FLAIR MR image.
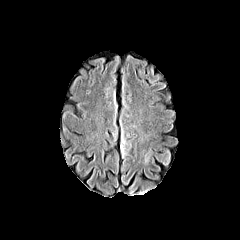
T1-weighted MR.
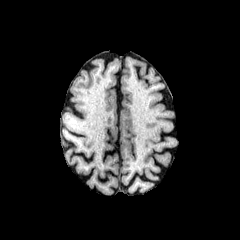
Post-contrast T1-weighted magnetic resonance.
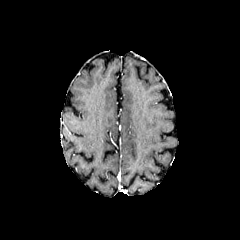
T2-weighted MR.
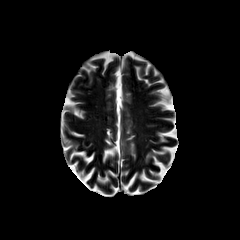
Head
peritumoral_edema:
  - <bbox>120, 143, 127, 158</bbox>